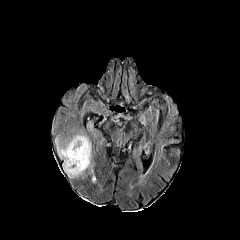
FLAIR MR image.
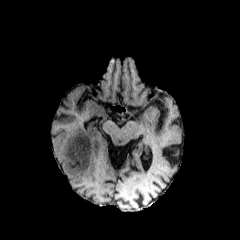
T1-weighted magnetic resonance.
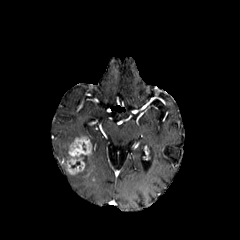
Post-contrast T1-weighted MR image of the same slice.
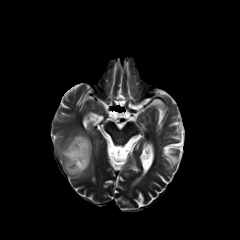
T2-weighted MRI.
Axial slice
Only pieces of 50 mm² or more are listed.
2 enhancing tumor regions are located at <box>67,158,85,175</box>, <box>69,137,91,156</box>. The largest necrotic tumor core region lies within <box>71,142,87,162</box>. The largest peritumoral edema region appears at <box>55,132,93,178</box>.